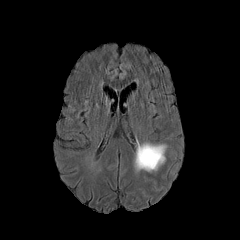
FLAIR MR.
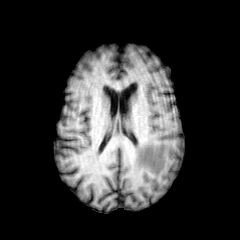
T1-weighted MR image.
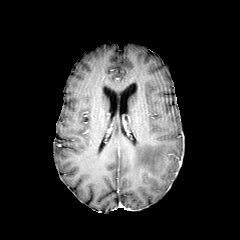
Same slice, post-contrast T1-weighted MR.
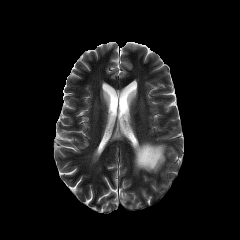
T2-weighted MR.
240x240 px
peritumoral edema: bbox=[135, 143, 166, 171]